Axial slice
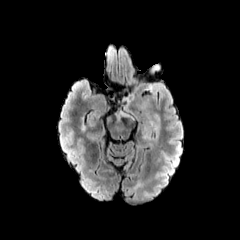
FLAIR magnetic resonance.
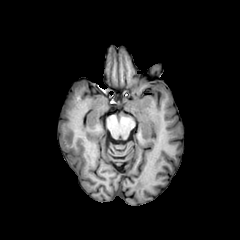
Same slice, T1-weighted MR.
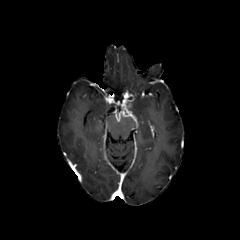
Same slice, post-contrast T1-weighted magnetic resonance.
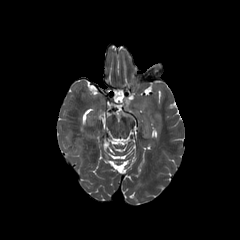
T2-weighted MR image.
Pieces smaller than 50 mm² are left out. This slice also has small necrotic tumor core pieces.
peritumoral edema: bbox(134, 96, 162, 138)
enhancing tumor: bbox(115, 94, 134, 121)